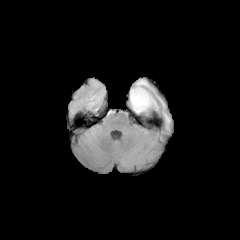
FLAIR MR image.
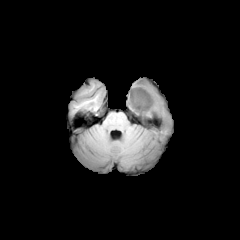
T1-weighted MR image of the same slice.
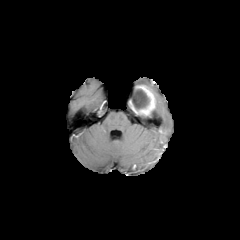
Post-contrast T1-weighted magnetic resonance.
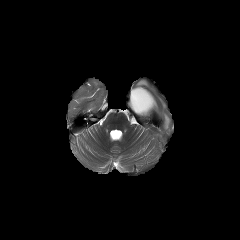
T2-weighted MR image of the same slice.
Axial view. 240x240. Head.
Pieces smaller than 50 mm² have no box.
Findings:
• peritumoral edema: box=[136, 80, 148, 86]
• enhancing tumor: box=[129, 85, 156, 115]
• necrotic tumor core: box=[132, 89, 149, 110]